Head, 240x240, Slice 71 of 155
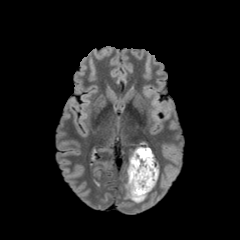
FLAIR MR.
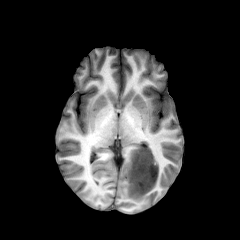
T1-weighted magnetic resonance.
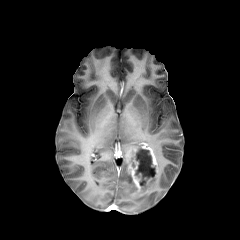
Same slice, post-contrast T1-weighted MRI.
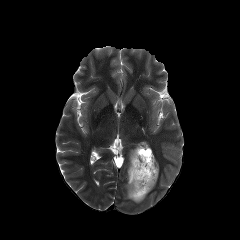
Same slice, T2-weighted MR image.
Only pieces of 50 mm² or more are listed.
<segmentation>
  <necrotic_tumor_core>x1=135, y1=147, x2=155, y2=188</necrotic_tumor_core>
  <enhancing_tumor>x1=128, y1=148, x2=155, y2=196; x1=141, y1=145, x2=158, y2=179</enhancing_tumor>
  <peritumoral_edema>x1=126, y1=167, x2=147, y2=202</peritumoral_edema>
</segmentation>